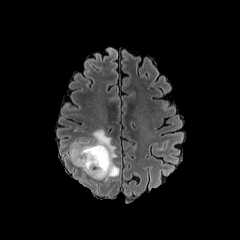
FLAIR MRI.
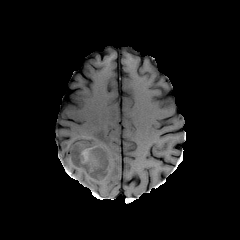
T1-weighted MR of the same slice.
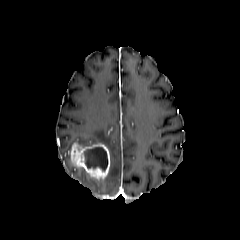
Post-contrast T1-weighted MRI of the same slice.
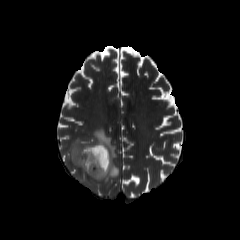
T2-weighted MR.
Axial view
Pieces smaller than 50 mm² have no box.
The enhancing tumor lies within 70, 143, 110, 179. The largest peritumoral edema region lies within 67, 129, 119, 182. The necrotic tumor core is bounded by 84, 147, 107, 170.